FLAIR MR.
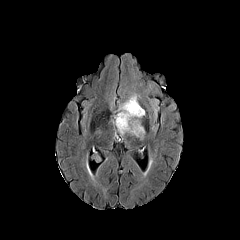
T1-weighted MR image.
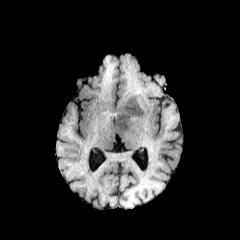
Post-contrast T1-weighted magnetic resonance.
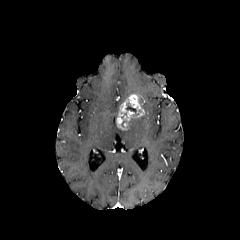
T2-weighted MR.
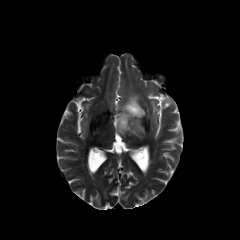
Head.
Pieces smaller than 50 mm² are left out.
Annotated regions:
• necrotic tumor core: 126,103,136,112
• peritumoral edema: 117,118,144,139
• enhancing tumor: 116,94,144,130